Brain. Image width 240 mm.
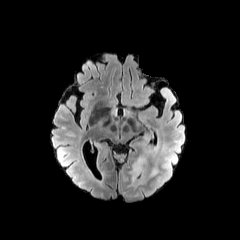
FLAIR magnetic resonance.
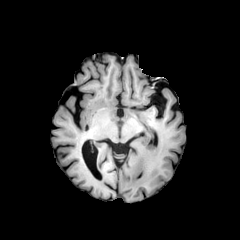
Same slice, T1-weighted MR image.
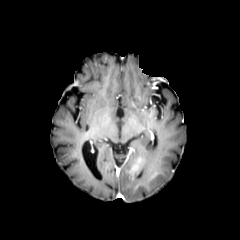
Post-contrast T1-weighted MR image.
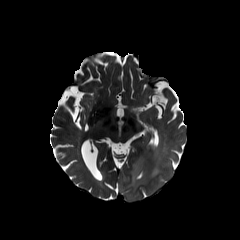
T2-weighted MRI of the same slice.
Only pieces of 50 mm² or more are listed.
enhancing tumor = <bbox>130, 161, 140, 177</bbox>
peritumoral edema = <bbox>127, 152, 147, 189</bbox>